240x240 px
FLAIR MRI.
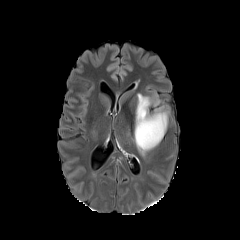
T1-weighted MR image.
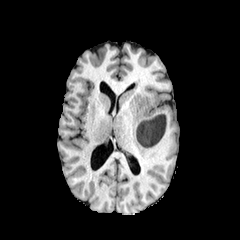
Post-contrast T1-weighted MRI.
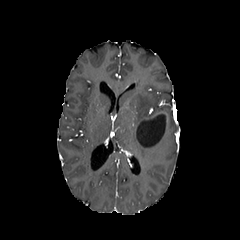
T2-weighted MRI.
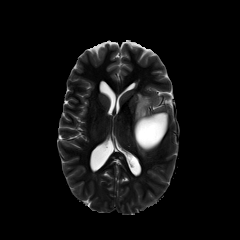
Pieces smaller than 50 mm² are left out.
peritumoral edema: bbox(134, 93, 167, 155)